FLAIR MRI.
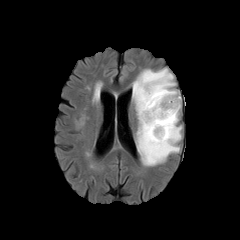
T1-weighted MRI.
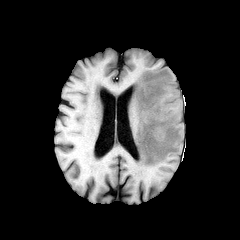
Post-contrast T1-weighted MRI.
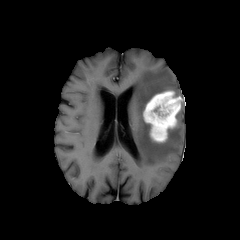
T2-weighted magnetic resonance.
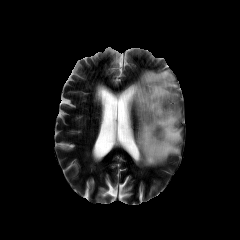
Image size 240x240; Brain; Axial view
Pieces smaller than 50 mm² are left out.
The largest peritumoral edema region is located at 132:68:182:166. The enhancing tumor is bounded by 143:90:181:142. The necrotic tumor core lies within 154:104:173:116.